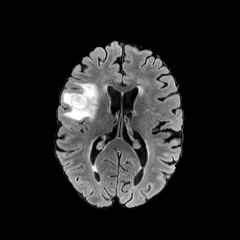
FLAIR MRI.
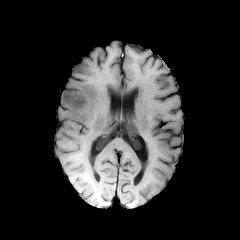
T1-weighted MRI of the same slice.
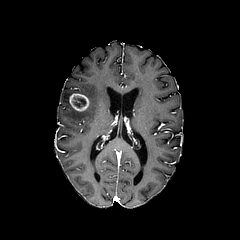
Same slice, post-contrast T1-weighted MR image.
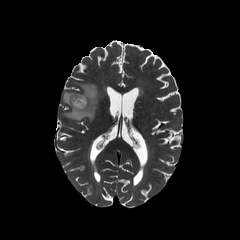
T2-weighted MRI.
Axial view
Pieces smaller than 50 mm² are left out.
<segmentation>
  <necrotic_tumor_core>74,98,85,107</necrotic_tumor_core>
  <enhancing_tumor>68,93,89,111</enhancing_tumor>
  <peritumoral_edema>62,83,100,120</peritumoral_edema>
</segmentation>